FLAIR MR image.
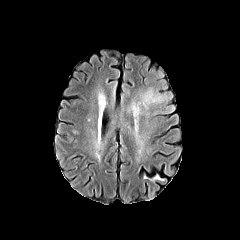
T1-weighted MR image.
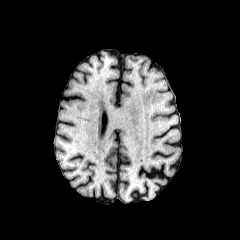
Post-contrast T1-weighted MRI.
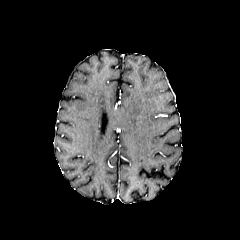
T2-weighted MRI.
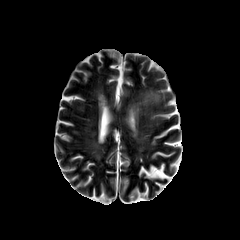
The peritumoral edema is bounded by l=134, t=89, r=166, b=113.